FLAIR magnetic resonance.
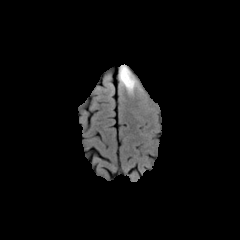
T1-weighted MR image.
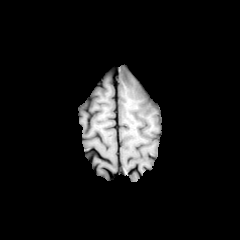
Post-contrast T1-weighted MR image.
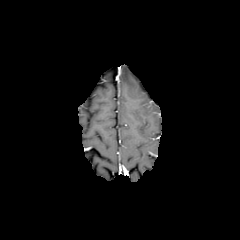
T2-weighted MRI.
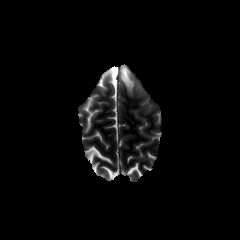
The peritumoral edema is located at (119,65,137,94).